Axial view
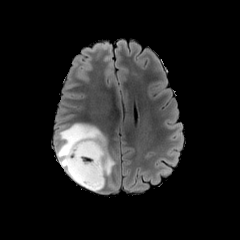
FLAIR MR image.
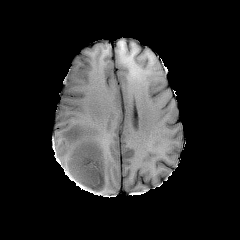
T1-weighted MRI.
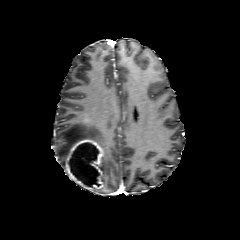
Post-contrast T1-weighted MR image.
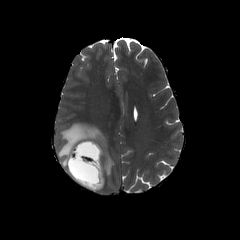
T2-weighted MR of the same slice.
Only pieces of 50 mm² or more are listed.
peritumoral edema: 56 123 114 186 | necrotic tumor core: 69 143 99 187 | enhancing tumor: 62 138 104 192